Brain
FLAIR magnetic resonance.
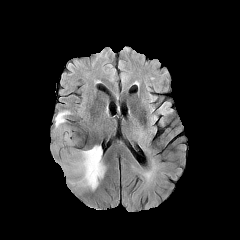
T1-weighted MR.
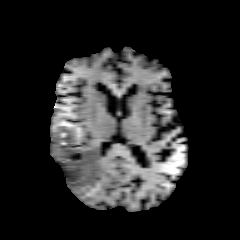
Post-contrast T1-weighted magnetic resonance.
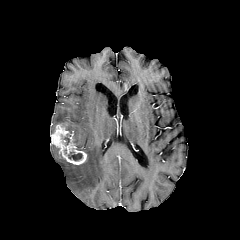
T2-weighted MRI.
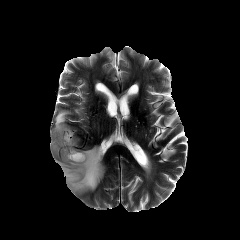
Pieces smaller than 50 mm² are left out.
{
  "peritumoral_edema": [
    {"x1": 55, "y1": 145, "x2": 105, "y2": 191},
    {"x1": 55, "y1": 110, "x2": 72, "y2": 132}
  ],
  "necrotic_tumor_core": [
    {"x1": 68, "y1": 152, "x2": 82, "y2": 160}
  ],
  "enhancing_tumor": [
    {"x1": 51, "y1": 124, "x2": 87, "y2": 164}
  ]
}